Image size 240x240, Brain
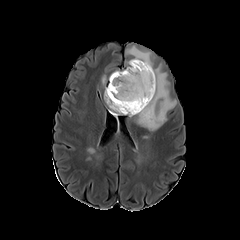
FLAIR magnetic resonance.
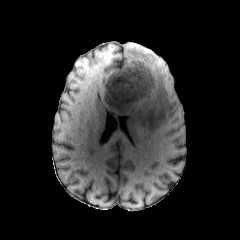
T1-weighted MR image.
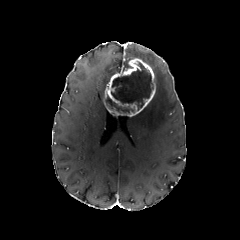
Post-contrast T1-weighted MR image.
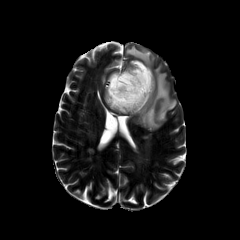
T2-weighted magnetic resonance of the same slice.
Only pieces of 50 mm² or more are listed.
- necrotic tumor core: x1=111, y1=62, x2=153, y2=110; x1=106, y1=95, x2=133, y2=113
- peritumoral edema: x1=134, y1=68, x2=176, y2=131; x1=129, y1=48, x2=151, y2=67
- enhancing tumor: x1=105, y1=58, x2=155, y2=116